FLAIR MR image.
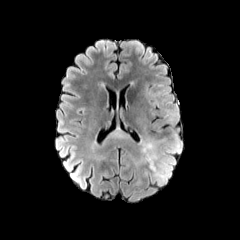
T1-weighted MR.
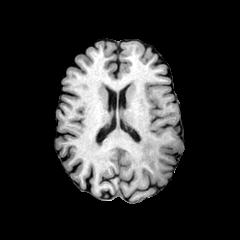
Post-contrast T1-weighted MRI.
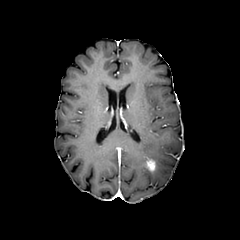
T2-weighted MRI.
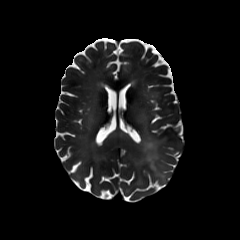
Image size 240x240
peritumoral edema at 140, 140, 167, 181
enhancing tumor at 146, 159, 155, 171